FLAIR magnetic resonance.
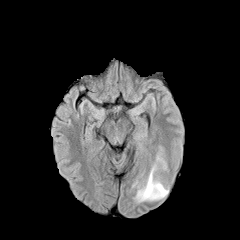
T1-weighted MRI.
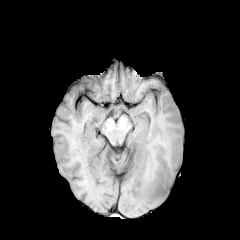
Post-contrast T1-weighted MR image.
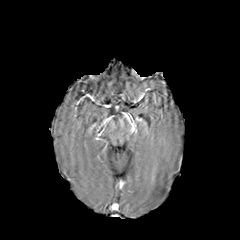
T2-weighted MR image.
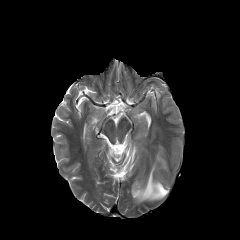
Axial slice.
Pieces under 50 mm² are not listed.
peritumoral edema: bbox(132, 165, 168, 201)